Head
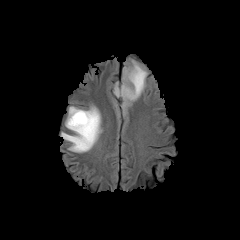
FLAIR MRI.
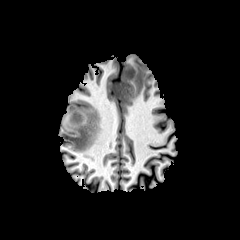
T1-weighted MR.
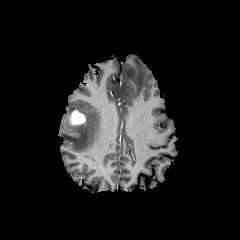
Post-contrast T1-weighted MR image.
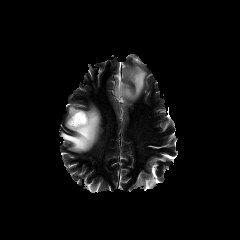
T2-weighted magnetic resonance.
enhancing tumor at box=[69, 110, 85, 125]
peritumoral edema at box=[114, 60, 147, 108]; box=[61, 105, 102, 152]